Slice index 103, 240x240, Image width 240 mm, 1.00 mm slice spacing
FLAIR MRI.
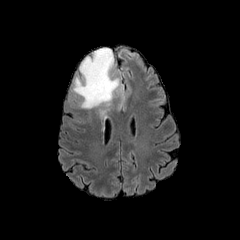
T1-weighted MRI.
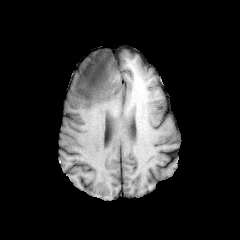
Post-contrast T1-weighted magnetic resonance.
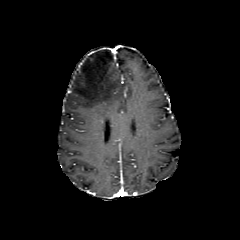
T2-weighted MR image.
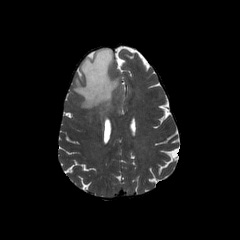
Findings:
- peritumoral edema: rect(72, 48, 122, 119)